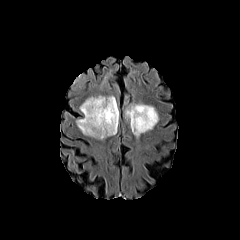
FLAIR magnetic resonance.
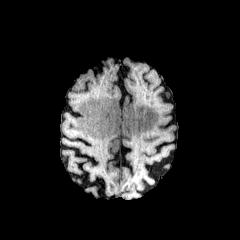
T1-weighted MR of the same slice.
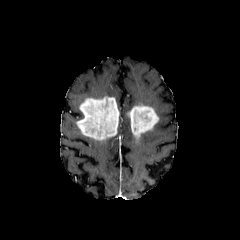
Post-contrast T1-weighted MR.
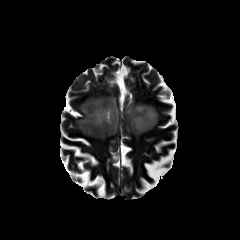
T2-weighted MR.
240x240; Head
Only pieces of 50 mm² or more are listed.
{
  "peritumoral_edema": [
    "(x1=125, y1=103, x2=141, y2=121)"
  ],
  "enhancing_tumor": [
    "(x1=127, y1=104, x2=158, y2=138)",
    "(x1=76, y1=96, x2=119, y2=140)"
  ]
}